FLAIR MRI.
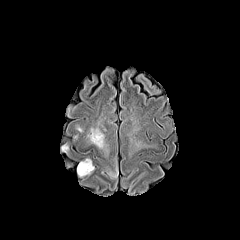
T1-weighted MRI.
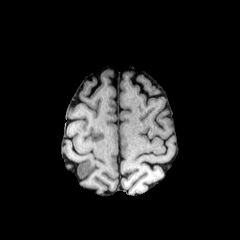
Post-contrast T1-weighted MR.
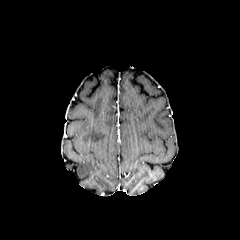
T2-weighted MR image.
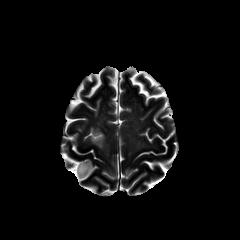
Head
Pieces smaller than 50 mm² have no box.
The 2 largest peritumoral edema regions are located at box(90, 129, 104, 147); box(77, 159, 94, 176).